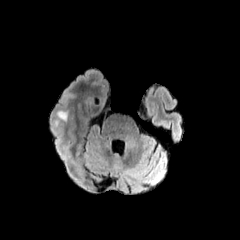
FLAIR magnetic resonance.
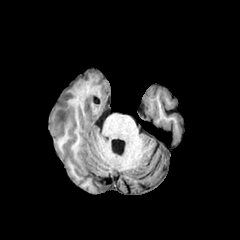
Same slice, T1-weighted MR image.
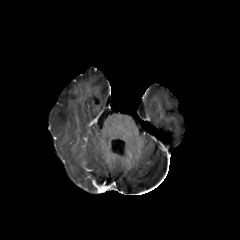
Post-contrast T1-weighted MRI of the same slice.
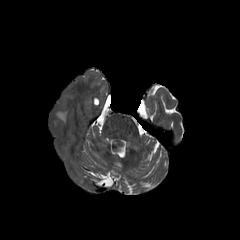
T2-weighted MR.
Head | 240x240 px
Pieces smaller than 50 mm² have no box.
Findings:
- peritumoral edema: x1=56 y1=110 x2=67 y2=121